FLAIR MR image.
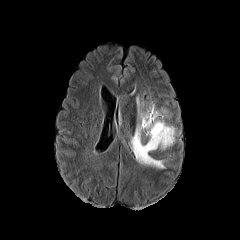
T1-weighted MR.
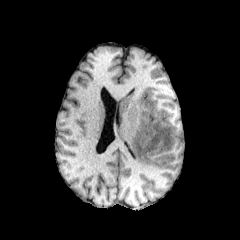
Post-contrast T1-weighted magnetic resonance.
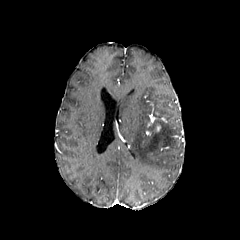
T2-weighted MRI.
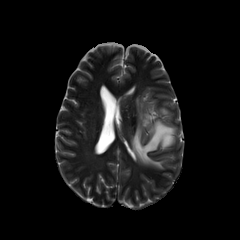
Brain, Axial view
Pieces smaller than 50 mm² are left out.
Segmented structures:
• peritumoral edema: box=[130, 96, 176, 168]
• enhancing tumor: box=[147, 107, 155, 127]